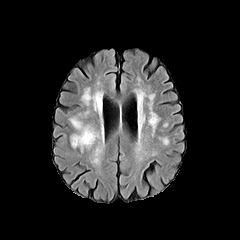
FLAIR MRI.
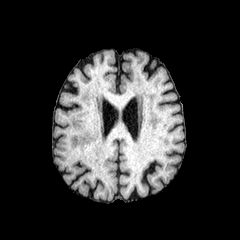
T1-weighted magnetic resonance of the same slice.
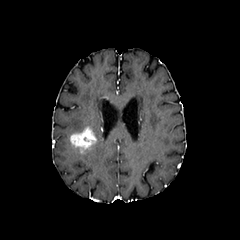
Post-contrast T1-weighted MRI.
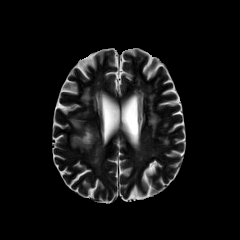
T2-weighted MRI of the same slice.
Brain
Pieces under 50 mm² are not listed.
• peritumoral edema: rect(67, 117, 99, 141)
• enhancing tumor: rect(70, 126, 96, 152)